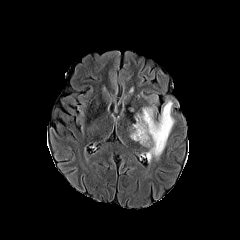
FLAIR MR image.
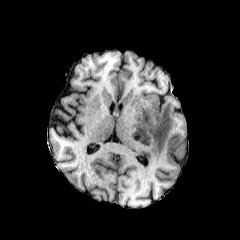
T1-weighted MR.
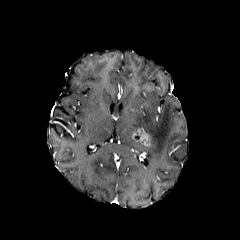
Same slice, post-contrast T1-weighted MRI.
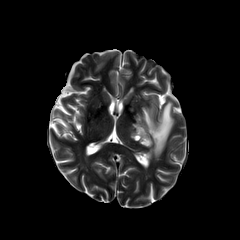
T2-weighted magnetic resonance of the same slice.
240x240 px | Brain
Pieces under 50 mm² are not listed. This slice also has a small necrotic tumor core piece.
The largest peritumoral edema region is at x1=133 y1=94 x2=173 y2=160. The largest enhancing tumor region is bounded by x1=132 y1=128 x2=150 y2=147.